FLAIR MRI.
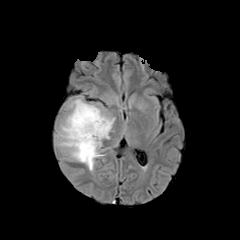
T1-weighted MRI.
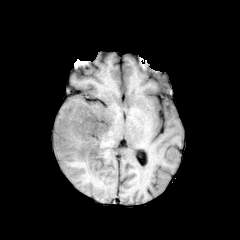
Post-contrast T1-weighted magnetic resonance.
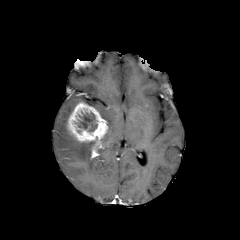
T2-weighted MR.
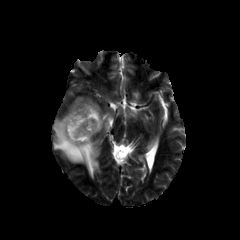
240x240 | Axial slice
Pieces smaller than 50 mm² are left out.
Annotated regions:
• peritumoral edema: (x1=54, y1=96, x2=102, y2=173), (x1=86, y1=102, x2=115, y2=143)
• necrotic tumor core: (x1=78, y1=112, x2=97, y2=131)
• enhancing tumor: (x1=66, y1=102, x2=108, y2=158)